Head, 240x240, Image covers 240 mm x 240 mm
FLAIR MR.
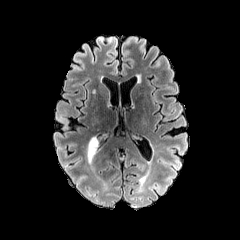
T1-weighted MRI.
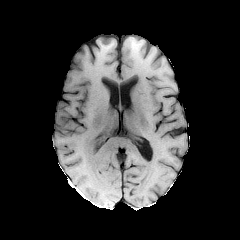
Post-contrast T1-weighted magnetic resonance.
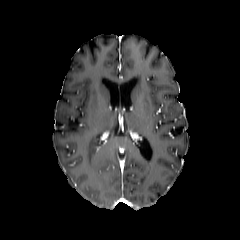
T2-weighted magnetic resonance.
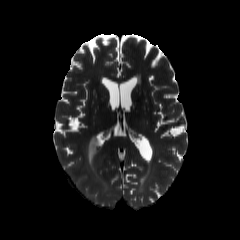
peritumoral edema at 87 136 99 165